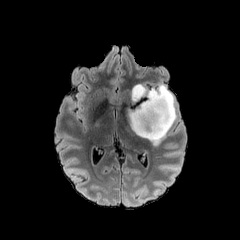
FLAIR MR image.
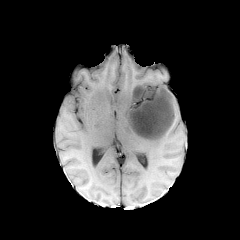
Same slice, T1-weighted MR.
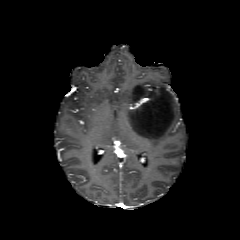
Post-contrast T1-weighted MR.
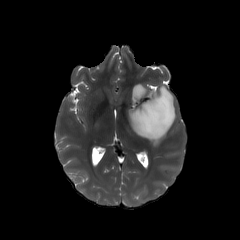
Same slice, T2-weighted magnetic resonance.
Axial slice, 240x240 px
Segmented structures:
• peritumoral edema: box(128, 84, 176, 145)